FLAIR MRI.
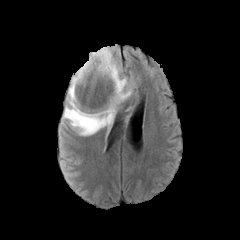
T1-weighted magnetic resonance.
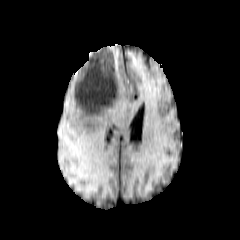
Post-contrast T1-weighted magnetic resonance.
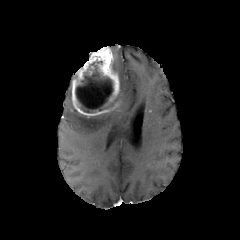
T2-weighted MRI.
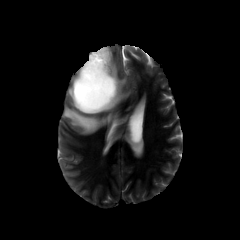
Head
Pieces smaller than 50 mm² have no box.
The enhancing tumor is bounded by bbox=[70, 46, 119, 117]. The 2 largest peritumoral edema regions are located at bbox=[113, 58, 131, 103]; bbox=[64, 87, 117, 135]. The largest necrotic tumor core region is located at bbox=[75, 73, 112, 112].